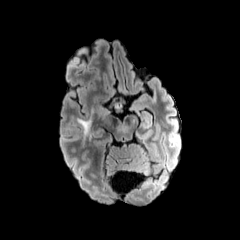
FLAIR MRI.
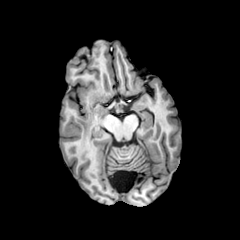
T1-weighted MRI of the same slice.
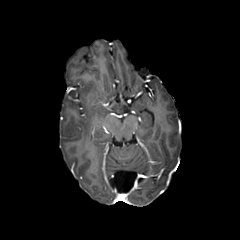
Same slice, post-contrast T1-weighted MRI.
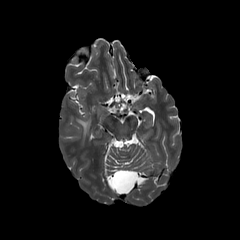
Same slice, T2-weighted MR.
Brain
peritumoral edema = <box>78,109,93,135</box>